FLAIR MR.
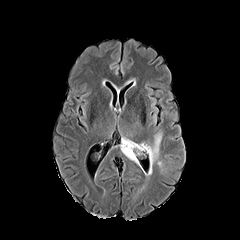
T1-weighted magnetic resonance.
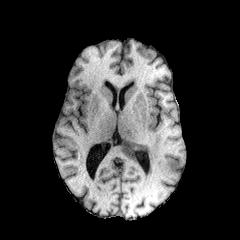
Post-contrast T1-weighted magnetic resonance.
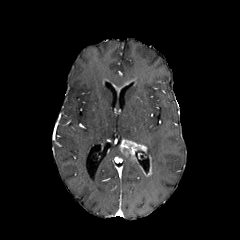
T2-weighted magnetic resonance.
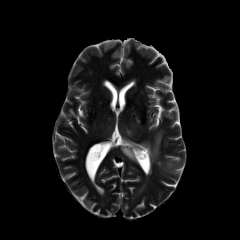
Brain; 240x240; Axial view
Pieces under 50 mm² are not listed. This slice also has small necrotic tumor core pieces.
peritumoral_edema:
  - box(141, 133, 162, 163)
enhancing_tumor:
  - box(120, 139, 147, 161)